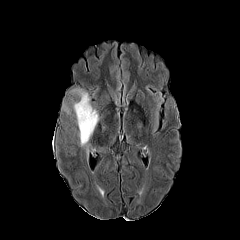
FLAIR MRI.
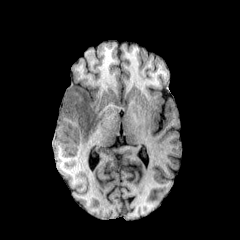
T1-weighted MR of the same slice.
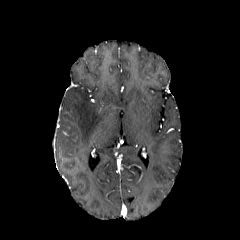
Post-contrast T1-weighted MR of the same slice.
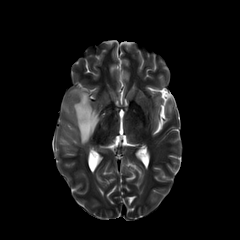
T2-weighted MR image.
Head
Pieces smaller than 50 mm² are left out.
peritumoral edema: 72:88:99:145